Head, Image width 240 mm, 1.00 mm slice spacing
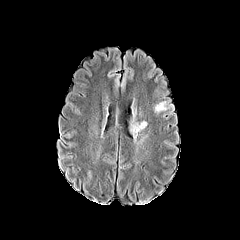
FLAIR MR image.
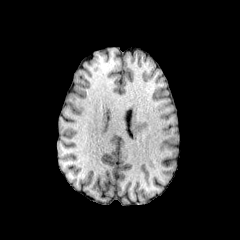
T1-weighted magnetic resonance.
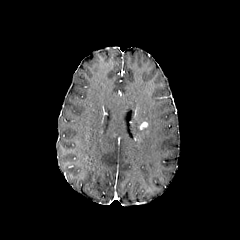
Post-contrast T1-weighted MR image.
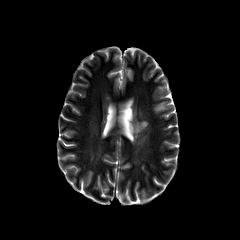
Same slice, T2-weighted magnetic resonance.
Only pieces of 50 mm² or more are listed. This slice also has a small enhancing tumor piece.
peritumoral edema — bbox=[131, 121, 142, 137]; bbox=[155, 102, 166, 112]